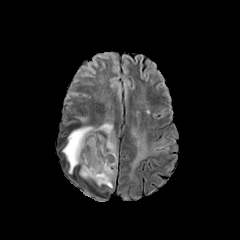
FLAIR MR.
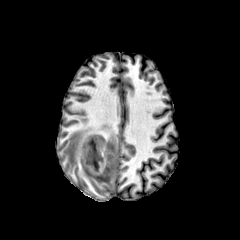
T1-weighted MRI.
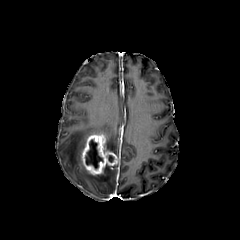
Post-contrast T1-weighted MR image.
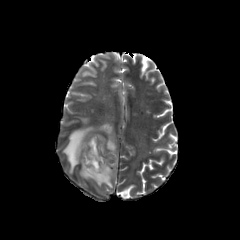
T2-weighted MR of the same slice.
Head
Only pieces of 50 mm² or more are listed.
enhancing tumor — (left=81, top=134, right=118, bottom=175)
peritumoral edema — (left=80, top=164, right=117, bottom=188), (left=63, top=122, right=117, bottom=173)
necrotic tumor core — (left=85, top=140, right=103, bottom=168)